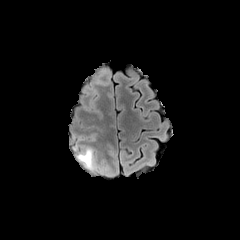
FLAIR MR image.
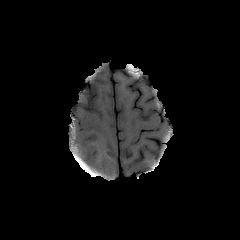
Same slice, T1-weighted MR.
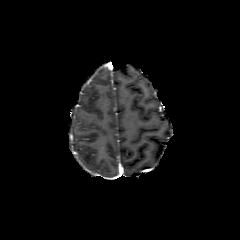
Post-contrast T1-weighted magnetic resonance of the same slice.
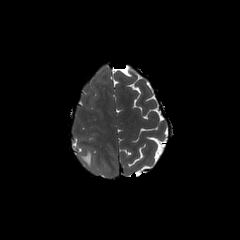
T2-weighted MRI of the same slice.
{"peritumoral_edema": ["bbox=[78, 148, 93, 170]"]}